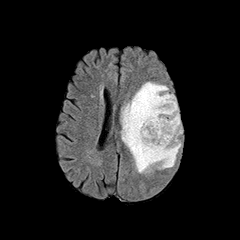
FLAIR MRI.
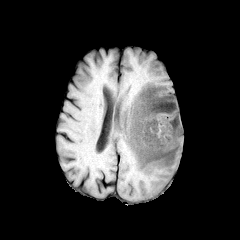
T1-weighted MR image.
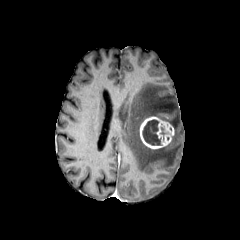
Post-contrast T1-weighted MRI.
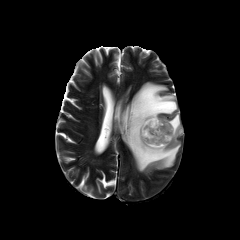
T2-weighted MR of the same slice.
Axial slice. 240x240 px. Head.
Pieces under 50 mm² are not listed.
peritumoral edema: bbox(121, 82, 182, 172) | enhancing tumor: bbox(139, 116, 174, 149) | necrotic tumor core: bbox(142, 119, 160, 145)